Slice 71 of 155 | Axial plane
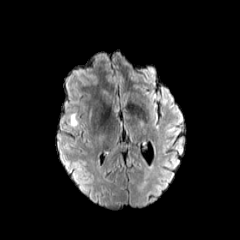
FLAIR magnetic resonance.
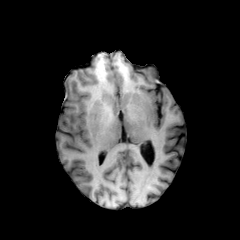
Same slice, T1-weighted MRI.
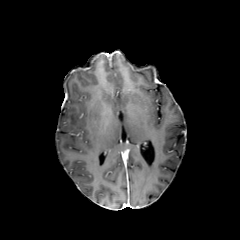
Same slice, post-contrast T1-weighted MR image.
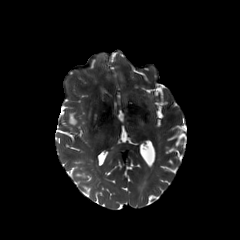
T2-weighted MRI.
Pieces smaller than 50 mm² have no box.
<segmentation>
  <peritumoral_edema>x1=71 y1=114 x2=77 y2=125</peritumoral_edema>
</segmentation>